FLAIR MR.
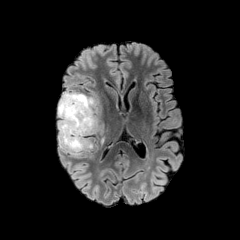
T1-weighted MR.
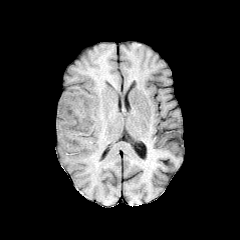
Post-contrast T1-weighted magnetic resonance.
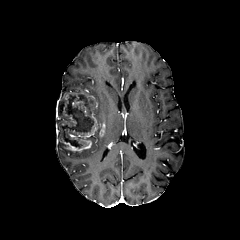
T2-weighted MR image.
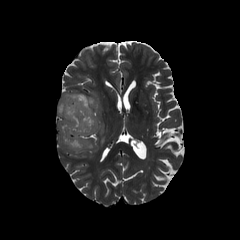
Axial plane. Brain. 240x240.
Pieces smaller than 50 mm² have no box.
necrotic tumor core = region(59, 95, 94, 147)
peritumoral edema = region(59, 142, 81, 153)
enhancing tumor = region(57, 91, 105, 151)